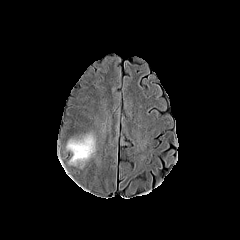
FLAIR MR image.
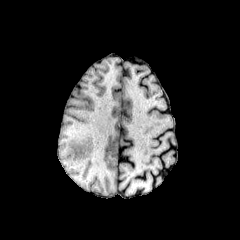
T1-weighted magnetic resonance.
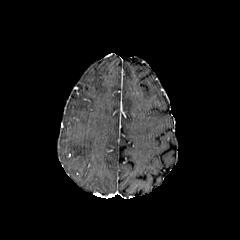
Post-contrast T1-weighted MR.
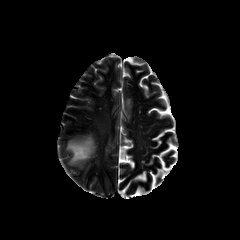
T2-weighted MR of the same slice.
Head
<segmentation>
  <peritumoral_edema>box(67, 135, 94, 164)</peritumoral_edema>
</segmentation>